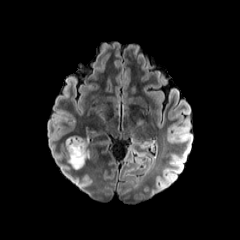
FLAIR MR.
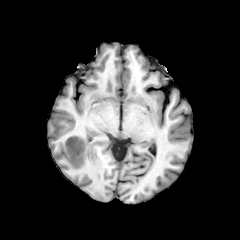
T1-weighted MR image.
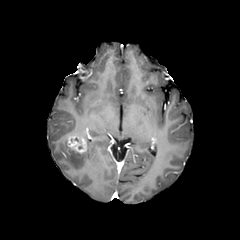
Post-contrast T1-weighted MR of the same slice.
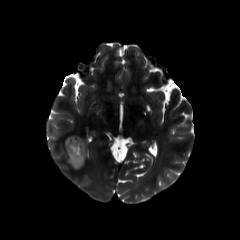
Same slice, T2-weighted magnetic resonance.
Image size 240x240; Axial plane
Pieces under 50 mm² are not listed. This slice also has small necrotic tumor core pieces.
peritumoral_edema:
  - 66 140 88 168
enhancing_tumor:
  - 67 135 87 153